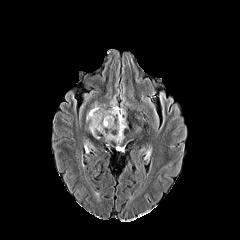
FLAIR MR image.
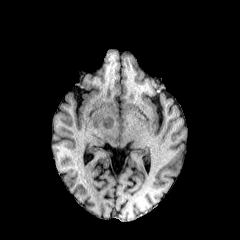
T1-weighted MR of the same slice.
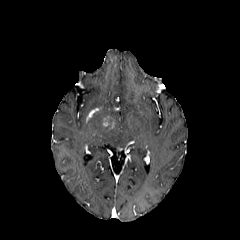
Post-contrast T1-weighted MR image of the same slice.
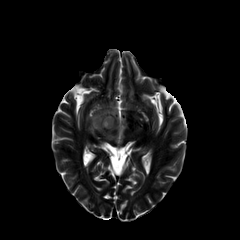
T2-weighted magnetic resonance of the same slice.
Brain; 240x240
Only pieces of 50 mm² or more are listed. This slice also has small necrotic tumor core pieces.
<segmentation>
  <peritumoral_edema>rect(86, 99, 126, 143)</peritumoral_edema>
  <enhancing_tumor>rect(103, 116, 114, 128)</enhancing_tumor>
</segmentation>